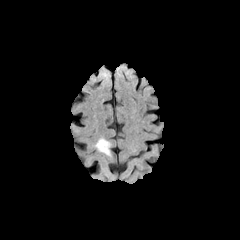
FLAIR magnetic resonance.
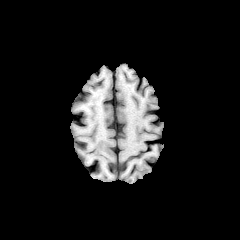
T1-weighted MR image.
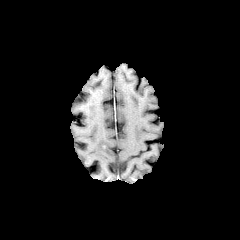
Same slice, post-contrast T1-weighted magnetic resonance.
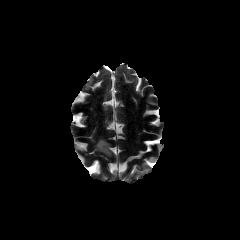
T2-weighted MR image of the same slice.
Head. Image size 240x240.
<segmentation>
  <peritumoral_edema>x1=95, y1=138, x2=111, y2=156</peritumoral_edema>
</segmentation>